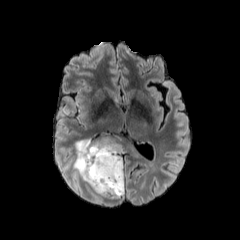
FLAIR magnetic resonance.
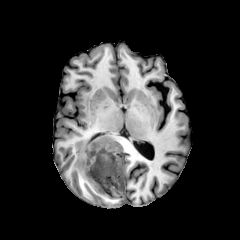
T1-weighted MR.
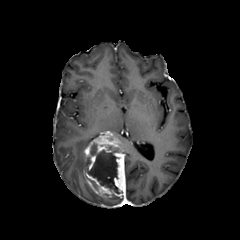
Post-contrast T1-weighted MR.
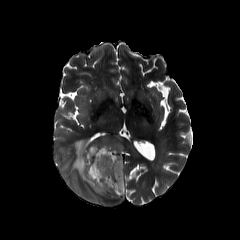
Same slice, T2-weighted magnetic resonance.
Brain
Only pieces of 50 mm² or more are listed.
<segmentation>
  <enhancing_tumor>rect(84, 132, 124, 197)</enhancing_tumor>
  <peritumoral_edema>rect(73, 139, 91, 182); rect(91, 191, 101, 202)</peritumoral_edema>
  <necrotic_tumor_core>rect(87, 143, 119, 193)</necrotic_tumor_core>
</segmentation>